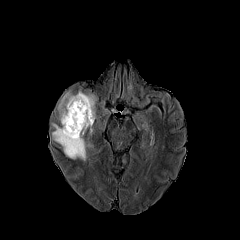
FLAIR MRI.
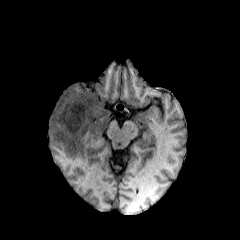
T1-weighted magnetic resonance.
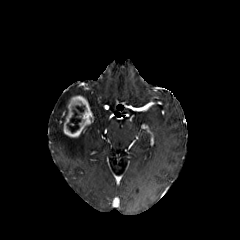
Same slice, post-contrast T1-weighted MR.
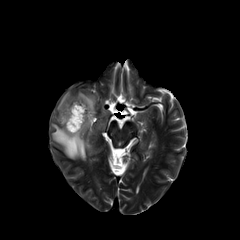
Same slice, T2-weighted magnetic resonance.
Brain; 240x240
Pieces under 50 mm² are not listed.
<segmentation>
  <necrotic_tumor_core>(left=67, top=105, right=84, bottom=132)</necrotic_tumor_core>
  <peritumoral_edema>(left=77, top=90, right=96, bottom=119), (left=57, top=90, right=75, bottom=115), (left=52, top=123, right=91, bottom=160)</peritumoral_edema>
  <enhancing_tumor>(left=63, top=95, right=93, bottom=137)</enhancing_tumor>
</segmentation>